Slice 84/155; Head
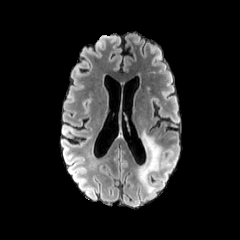
FLAIR MRI.
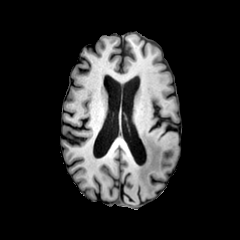
T1-weighted MRI.
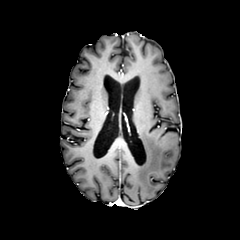
Post-contrast T1-weighted magnetic resonance.
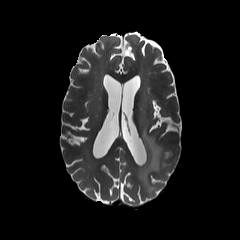
T2-weighted MR.
peritumoral edema at left=137, top=130, right=161, bottom=192